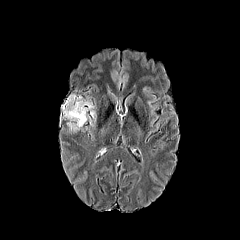
FLAIR MRI.
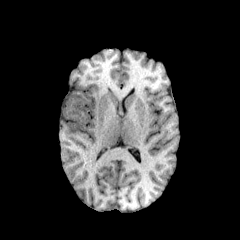
T1-weighted magnetic resonance of the same slice.
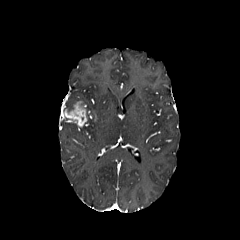
Same slice, post-contrast T1-weighted MR.
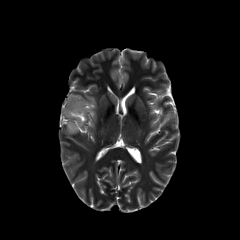
T2-weighted MRI.
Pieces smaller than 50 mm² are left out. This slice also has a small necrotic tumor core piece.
peritumoral edema = (64, 95, 95, 116), (66, 123, 77, 133)
enhancing tumor = (63, 101, 87, 129)